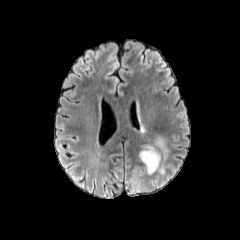
FLAIR MR.
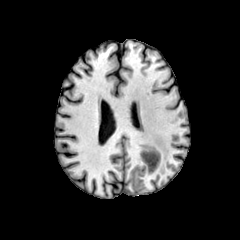
Same slice, T1-weighted MR.
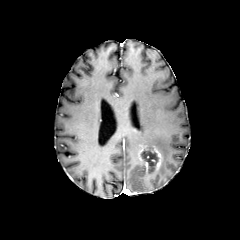
Post-contrast T1-weighted MRI of the same slice.
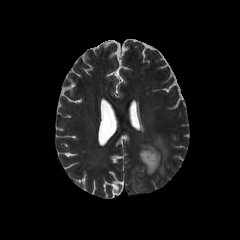
T2-weighted MRI of the same slice.
240x240 px | Brain
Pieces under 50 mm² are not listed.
<segmentation>
  <necrotic_tumor_core>bbox(142, 151, 158, 171)</necrotic_tumor_core>
  <enhancing_tumor>bbox(139, 146, 161, 174)</enhancing_tumor>
  <peritumoral_edema>bbox(158, 164, 164, 174); bbox(155, 136, 169, 160)</peritumoral_edema>
</segmentation>